240x240 | Head | Axial view
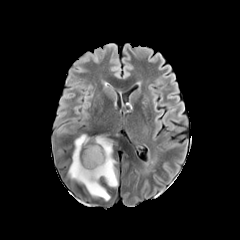
FLAIR MR.
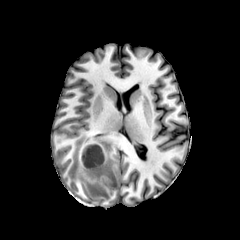
T1-weighted magnetic resonance.
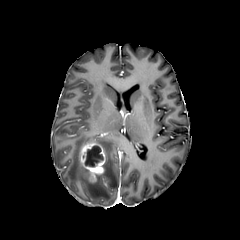
Post-contrast T1-weighted MR image.
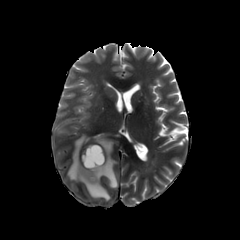
T2-weighted MR image.
Findings:
• peritumoral edema: {"x1": 68, "y1": 134, "x2": 117, "y2": 200}
• necrotic tumor core: {"x1": 85, "y1": 145, "x2": 103, "y2": 166}
• enhancing tumor: {"x1": 80, "y1": 143, "x2": 105, "y2": 181}